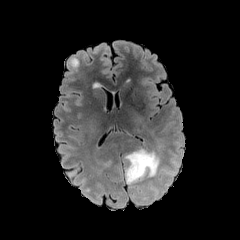
FLAIR MRI.
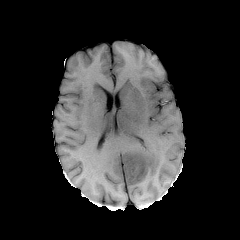
Same slice, T1-weighted MRI.
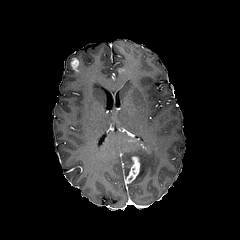
Post-contrast T1-weighted MR.
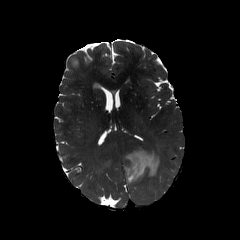
T2-weighted magnetic resonance.
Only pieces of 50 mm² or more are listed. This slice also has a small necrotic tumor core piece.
The 2 largest enhancing tumor regions are located at 125, 156, 140, 183; 70, 58, 79, 71. The 2 largest peritumoral edema regions appear at 148, 181, 156, 192; 124, 148, 159, 187.